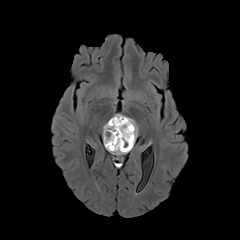
FLAIR MRI.
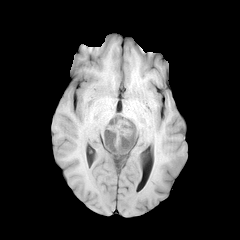
T1-weighted MRI.
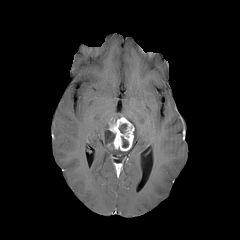
Post-contrast T1-weighted MR.
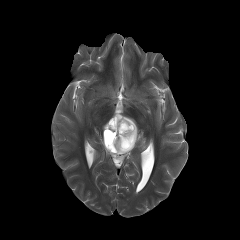
T2-weighted magnetic resonance.
Head; Axial slice
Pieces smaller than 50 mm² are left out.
enhancing tumor: 108 115 134 151 | peritumoral edema: 104 116 138 155 | necrotic tumor core: 121 136 128 147, 105 129 115 149, 118 123 126 133